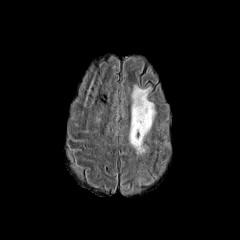
FLAIR MR image.
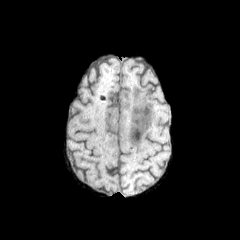
T1-weighted MR of the same slice.
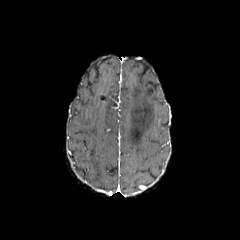
Post-contrast T1-weighted MRI.
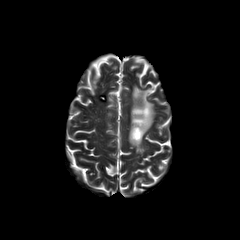
T2-weighted magnetic resonance.
Brain. 240x240.
peritumoral edema: bounding box bbox(129, 85, 155, 153)